Image covers 240 mm x 240 mm | Slice index 126 | Axial slice
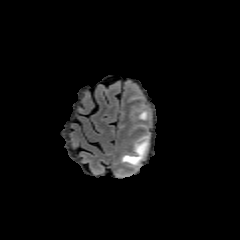
FLAIR MR.
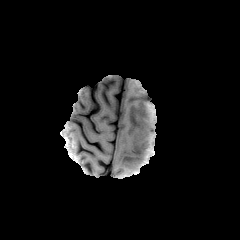
T1-weighted MRI.
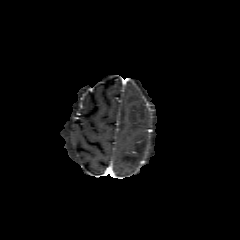
Post-contrast T1-weighted MR image.
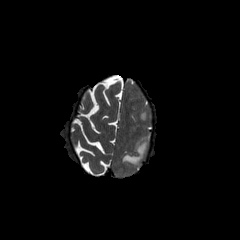
T2-weighted MRI.
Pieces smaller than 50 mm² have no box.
The 2 largest peritumoral edema regions appear at 121,135,149,165; 130,106,147,120.